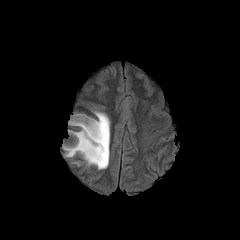
FLAIR MRI.
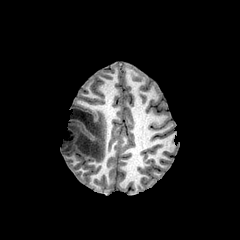
Same slice, T1-weighted magnetic resonance.
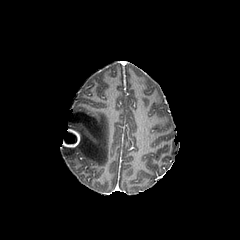
Post-contrast T1-weighted magnetic resonance.
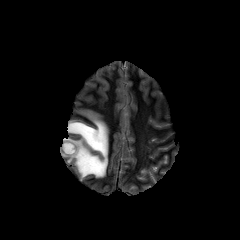
Same slice, T2-weighted MR image.
Axial plane
necrotic_tumor_core:
  - 63:132:76:143
peritumoral_edema:
  - 62:111:109:171
enhancing_tumor:
  - 63:129:79:147